Axial slice; Slice 56 of 155; Brain
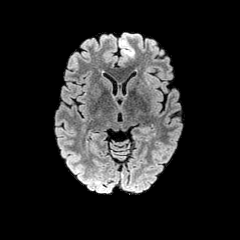
FLAIR MRI.
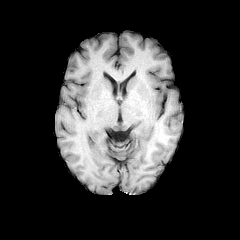
Same slice, T1-weighted MR.
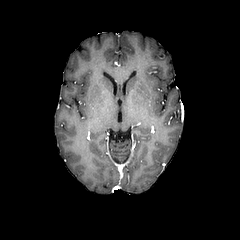
Post-contrast T1-weighted magnetic resonance of the same slice.
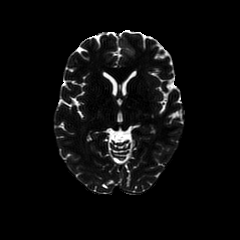
T2-weighted MR image.
peritumoral edema: 118 33 134 59